Slice 88/155; Image size 240x240; Brain; Image covers 240 mm x 240 mm
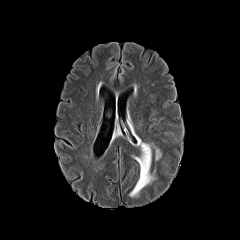
FLAIR MRI.
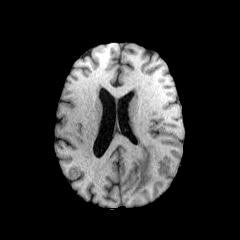
Same slice, T1-weighted MR.
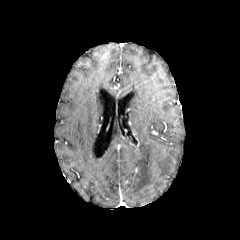
Same slice, post-contrast T1-weighted MR.
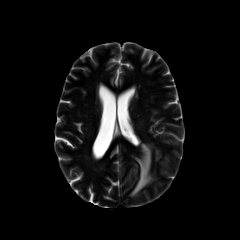
T2-weighted MRI.
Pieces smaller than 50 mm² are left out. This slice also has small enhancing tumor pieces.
{
  "peritumoral_edema": [
    "129,138,161,197"
  ]
}